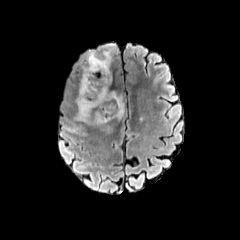
FLAIR MR image.
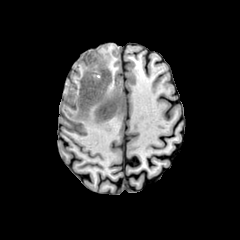
T1-weighted MR.
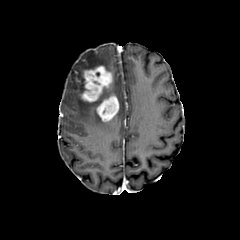
Same slice, post-contrast T1-weighted magnetic resonance.
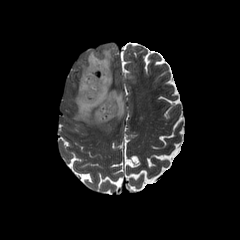
Same slice, T2-weighted MR image.
Axial plane, Head
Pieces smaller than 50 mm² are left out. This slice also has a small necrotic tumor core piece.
peritumoral edema — (x1=94, y1=112, x2=106, y2=123), (x1=74, y1=75, x2=124, y2=122), (x1=83, y1=49, x2=112, y2=74)
enhancing tumor — (x1=96, y1=94, x2=119, y2=121), (x1=80, y1=66, x2=112, y2=102)